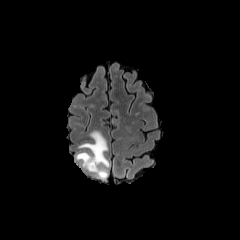
FLAIR MRI.
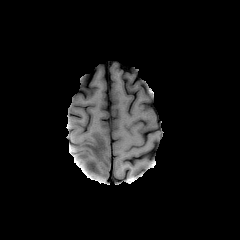
T1-weighted MR.
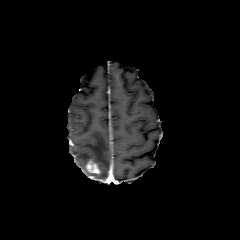
Post-contrast T1-weighted magnetic resonance.
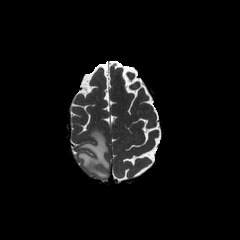
T2-weighted MR of the same slice.
240x240 px | Axial plane
The peritumoral edema is bounded by (76, 130, 110, 180). The enhancing tumor is bounded by (85, 159, 101, 174).